FLAIR MR image.
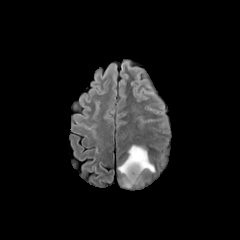
T1-weighted MR image.
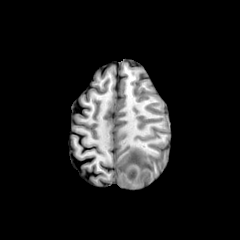
Post-contrast T1-weighted MR.
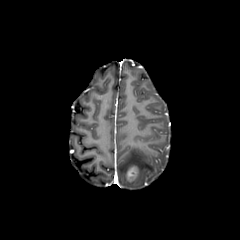
T2-weighted MR.
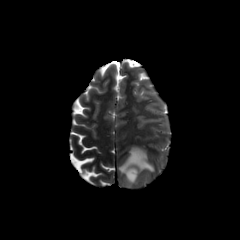
Axial view; 240x240
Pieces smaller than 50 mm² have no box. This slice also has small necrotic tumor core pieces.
- peritumoral edema: bbox(118, 145, 154, 187)
- enhancing tumor: bbox(127, 166, 137, 181)